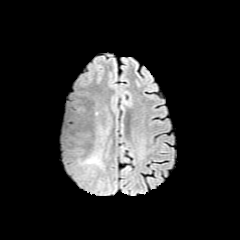
FLAIR magnetic resonance.
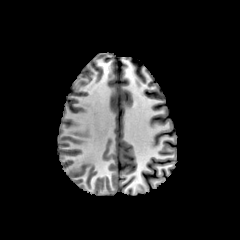
T1-weighted MR.
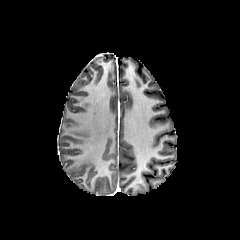
Post-contrast T1-weighted MR image.
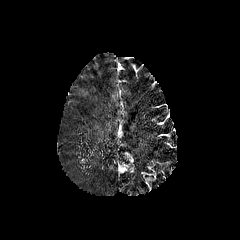
Same slice, T2-weighted MRI.
Image size 240x240. Head.
peritumoral edema at bbox(81, 125, 110, 171)